Brain | Slice index 80
FLAIR magnetic resonance.
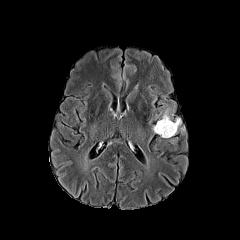
T1-weighted MRI.
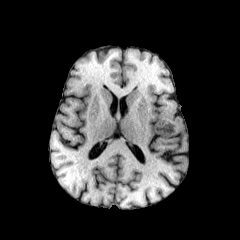
Post-contrast T1-weighted MR image.
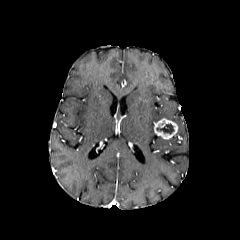
T2-weighted magnetic resonance.
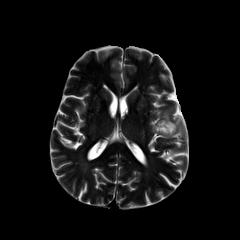
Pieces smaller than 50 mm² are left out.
{"peritumoral_edema": ["bbox(162, 109, 170, 119)"], "enhancing_tumor": ["bbox(154, 118, 178, 139)"], "necrotic_tumor_core": ["bbox(156, 124, 174, 134)"]}